Image size 240x240.
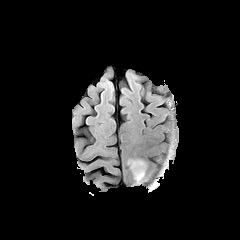
FLAIR MR image.
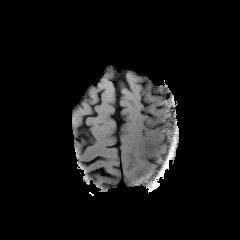
T1-weighted MR image.
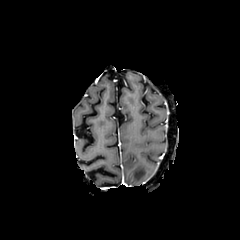
Post-contrast T1-weighted MR image of the same slice.
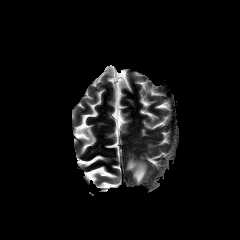
Same slice, T2-weighted MRI.
peritumoral edema at 128 160 146 183